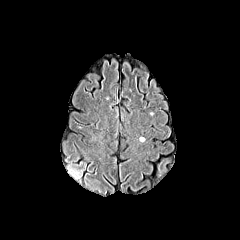
FLAIR MR image.
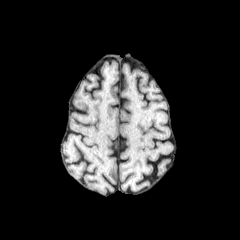
Same slice, T1-weighted MRI.
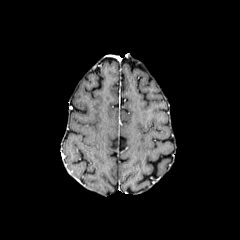
Same slice, post-contrast T1-weighted magnetic resonance.
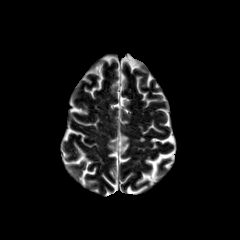
T2-weighted MRI of the same slice.
240x240; Axial view
peritumoral edema at bbox=[68, 167, 80, 177]